Image width 240 mm; Head; 240x240 px
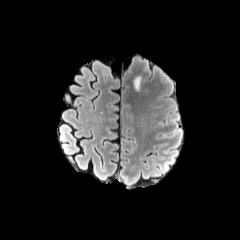
FLAIR magnetic resonance.
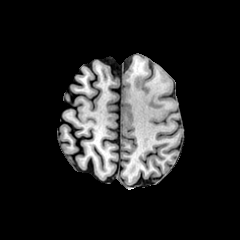
T1-weighted magnetic resonance of the same slice.
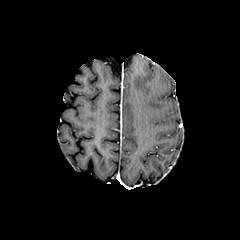
Post-contrast T1-weighted MR image.
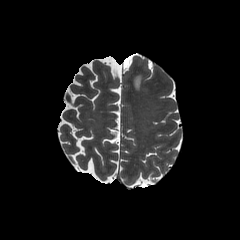
Same slice, T2-weighted MR image.
{"peritumoral_edema": ["134,76,141,90"]}